240x240. Head. Axial plane. Slice 40/155.
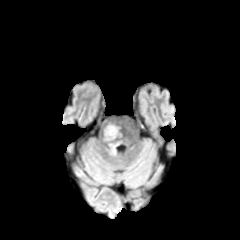
FLAIR MR image.
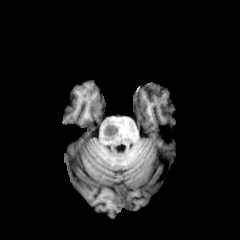
Same slice, T1-weighted MR.
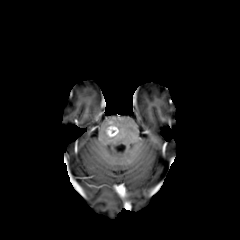
Same slice, post-contrast T1-weighted MRI.
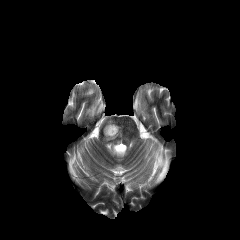
T2-weighted magnetic resonance.
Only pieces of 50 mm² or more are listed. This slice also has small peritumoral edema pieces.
The largest enhancing tumor region is bounded by [106,125,118,137].